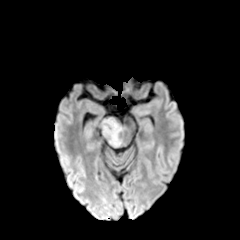
FLAIR MRI.
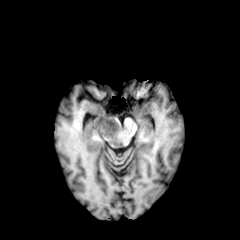
T1-weighted magnetic resonance.
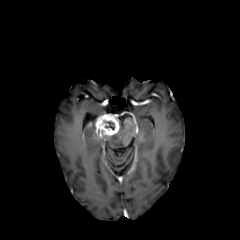
Post-contrast T1-weighted MR image.
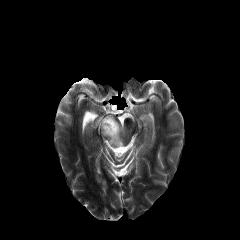
T2-weighted MR image of the same slice.
Axial plane; 240x240 px
peritumoral edema — (105, 125, 123, 146)
enhancing tumor — (94, 114, 119, 136)
necrotic tumor core — (105, 121, 114, 129)